Slice 87/155. Axial view.
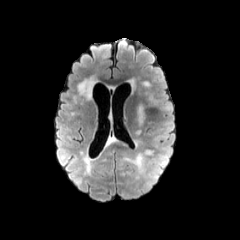
FLAIR MRI.
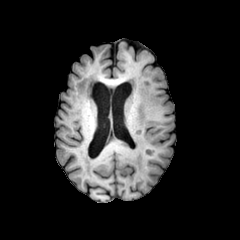
Same slice, T1-weighted MR image.
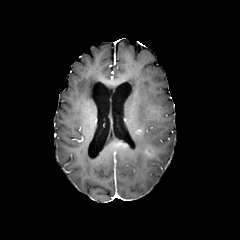
Post-contrast T1-weighted MRI.
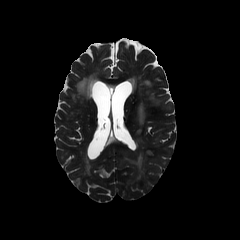
Same slice, T2-weighted MR image.
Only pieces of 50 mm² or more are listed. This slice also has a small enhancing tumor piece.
peritumoral edema: bbox=[108, 137, 124, 146]; bbox=[124, 154, 143, 172]; bbox=[144, 149, 154, 155]; bbox=[137, 104, 145, 125]